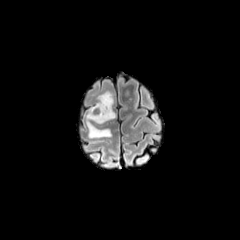
FLAIR MR.
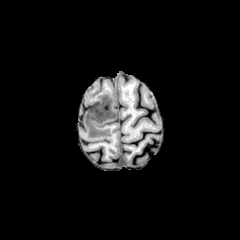
T1-weighted MRI.
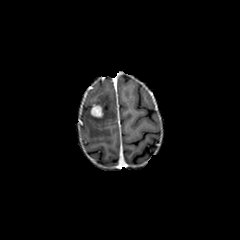
Same slice, post-contrast T1-weighted MR image.
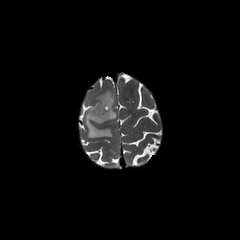
T2-weighted magnetic resonance of the same slice.
240x240 px; Brain
<segmentation>
  <peritumoral_edema>rect(84, 90, 116, 138)</peritumoral_edema>
  <enhancing_tumor>rect(91, 104, 104, 118)</enhancing_tumor>
</segmentation>